Image width 240 mm, 1.00 mm slice spacing, Brain
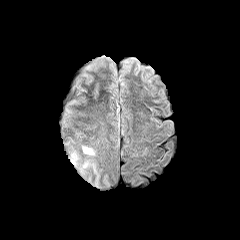
FLAIR MR.
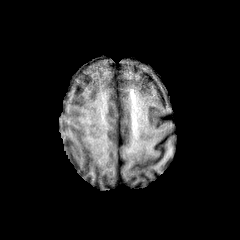
T1-weighted MRI.
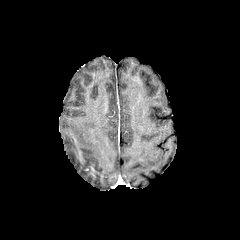
Post-contrast T1-weighted MRI.
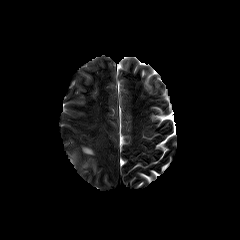
T2-weighted MR.
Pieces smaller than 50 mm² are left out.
The largest peritumoral edema region is bounded by bbox(82, 147, 94, 154).